240x240 | Brain | Axial view
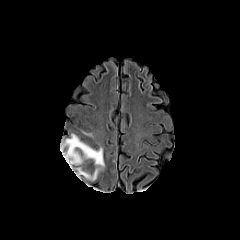
FLAIR MR image.
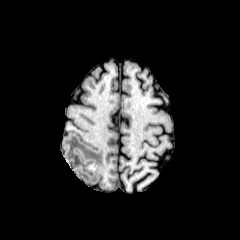
T1-weighted magnetic resonance.
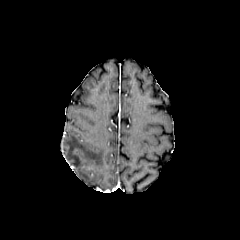
Post-contrast T1-weighted magnetic resonance.
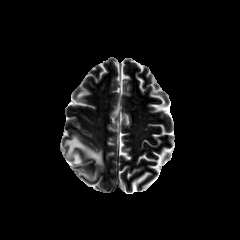
T2-weighted MR.
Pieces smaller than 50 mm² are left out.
The largest peritumoral edema region is bounded by bbox=[64, 134, 104, 180].